Axial plane | Brain
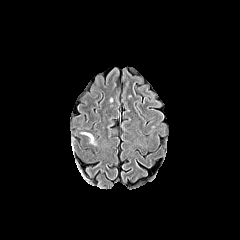
FLAIR MRI.
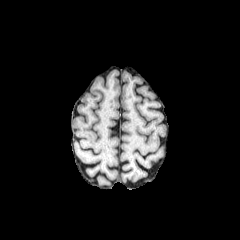
T1-weighted MRI.
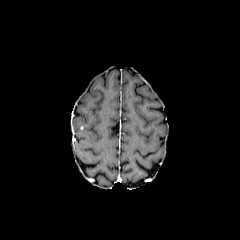
Same slice, post-contrast T1-weighted MR image.
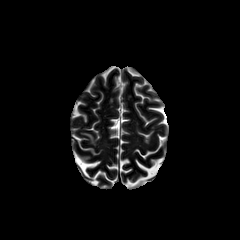
Same slice, T2-weighted MR image.
The peritumoral edema appears at (82, 133, 95, 144).